FLAIR MRI.
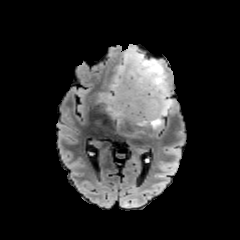
T1-weighted MRI.
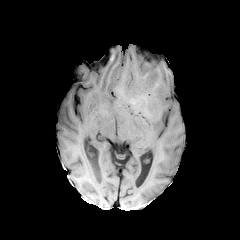
Post-contrast T1-weighted MR image.
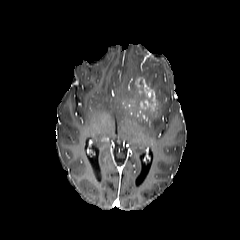
T2-weighted MR.
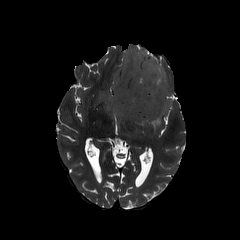
Image size 240x240.
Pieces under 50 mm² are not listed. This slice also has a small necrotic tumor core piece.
enhancing tumor: box=[130, 78, 162, 117]
peritumoral edema: box=[97, 44, 173, 128]